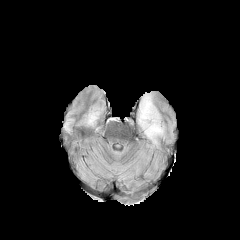
FLAIR MR image.
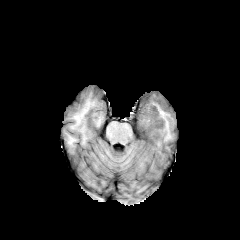
T1-weighted magnetic resonance.
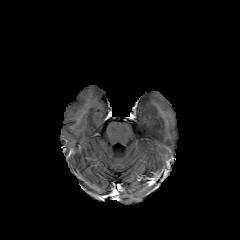
Post-contrast T1-weighted MRI of the same slice.
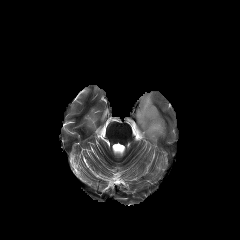
T2-weighted MR.
240x240 px
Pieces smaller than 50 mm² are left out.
peritumoral edema at 137, 94, 164, 148